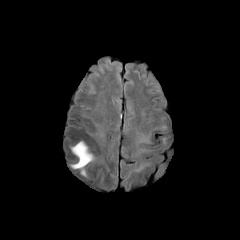
FLAIR magnetic resonance.
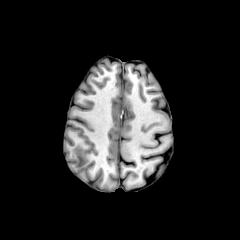
T1-weighted MR.
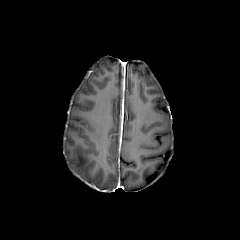
Post-contrast T1-weighted MRI.
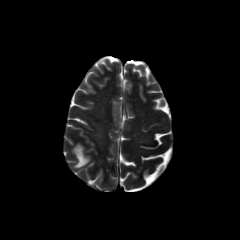
T2-weighted MR image.
Head; 240x240; Axial view
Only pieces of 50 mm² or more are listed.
peritumoral_edema:
  - bbox(72, 142, 93, 168)